FLAIR MR.
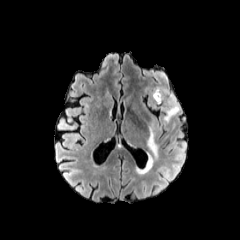
T1-weighted MRI.
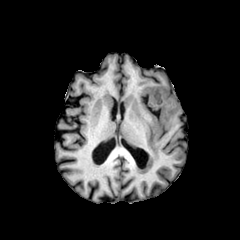
Post-contrast T1-weighted MRI.
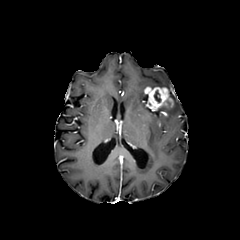
T2-weighted magnetic resonance.
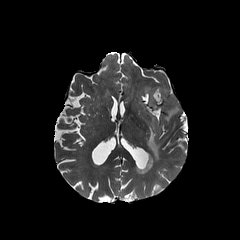
Axial view. Head.
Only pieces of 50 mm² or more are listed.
The 3 largest peritumoral edema regions are located at box=[147, 122, 158, 159]; box=[160, 92, 179, 123]; box=[137, 155, 153, 173]. The necrotic tumor core appears at box=[154, 90, 160, 102]. The largest enhancing tumor region is bounded by box=[144, 87, 173, 110].